Head, Axial slice, Slice 77/155, Image width 240 mm
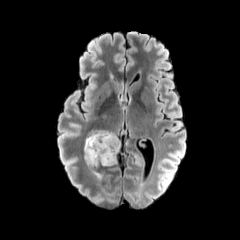
FLAIR MR image.
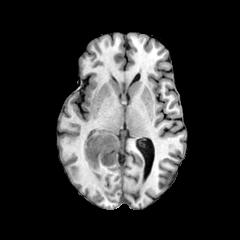
Same slice, T1-weighted MRI.
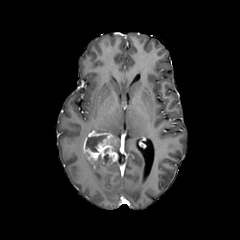
Post-contrast T1-weighted magnetic resonance.
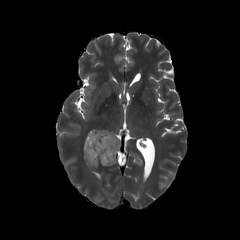
T2-weighted MR of the same slice.
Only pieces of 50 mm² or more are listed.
- necrotic tumor core: bbox(86, 135, 106, 151)
- peritumoral edema: bbox(95, 130, 119, 152); bbox(83, 152, 117, 169); bbox(93, 172, 102, 180)
- enhancing tumor: bbox(83, 132, 117, 164)